FLAIR magnetic resonance.
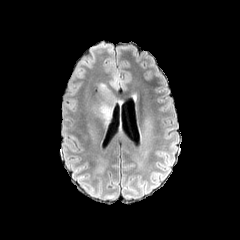
T1-weighted magnetic resonance.
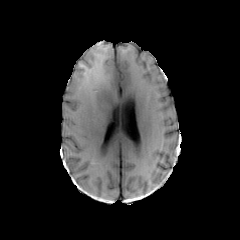
Post-contrast T1-weighted MR.
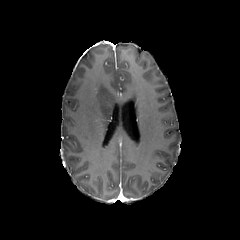
T2-weighted magnetic resonance.
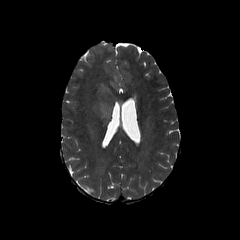
240x240 px.
Annotated regions:
* peritumoral edema: 92, 83, 115, 120